Slice index 108. Axial plane. Head.
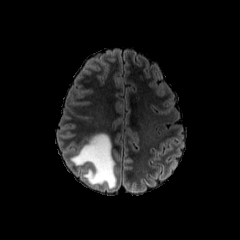
FLAIR magnetic resonance.
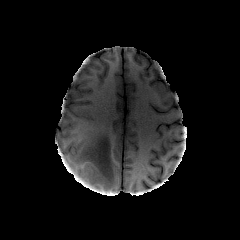
T1-weighted MR.
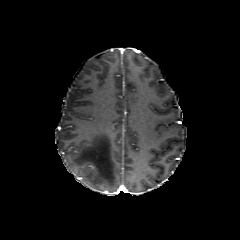
Post-contrast T1-weighted MR.
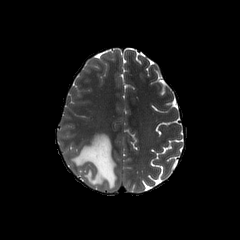
T2-weighted MR image.
The peritumoral edema lies within [x1=70, y1=133, x2=116, y2=188].